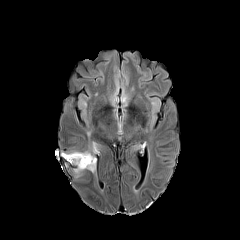
FLAIR MR image.
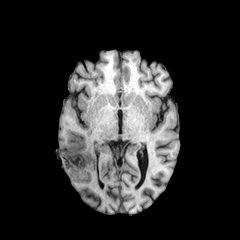
Same slice, T1-weighted magnetic resonance.
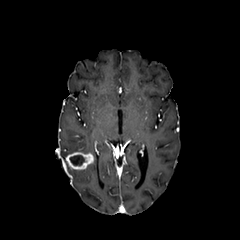
Post-contrast T1-weighted MR of the same slice.
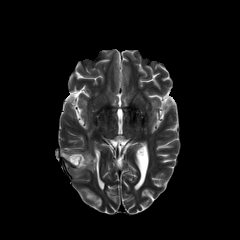
T2-weighted magnetic resonance.
Brain
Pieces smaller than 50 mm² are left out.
peritumoral edema: 86 158 95 171 | necrotic tumor core: 70 155 84 165 | enhancing tumor: 65 152 94 170